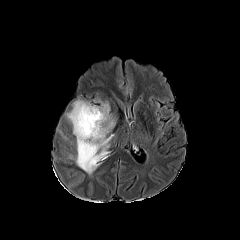
FLAIR MR.
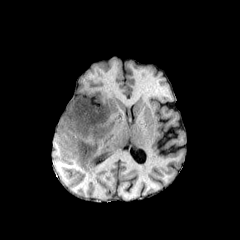
Same slice, T1-weighted MRI.
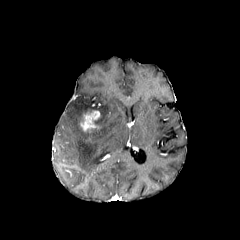
Post-contrast T1-weighted MRI of the same slice.
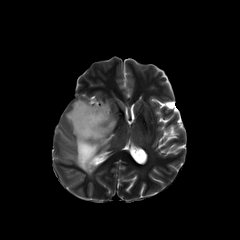
T2-weighted MRI.
Axial slice, Brain
2 peritumoral edema regions are bounded by bbox=[57, 129, 71, 144]; bbox=[66, 99, 115, 174]. The enhancing tumor lies within bbox=[80, 110, 102, 132].